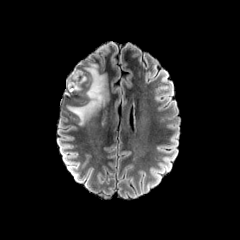
FLAIR MR image.
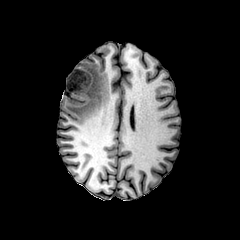
T1-weighted MR image.
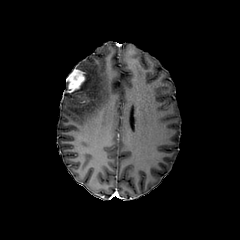
Post-contrast T1-weighted MRI of the same slice.
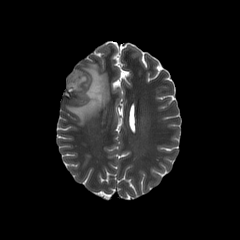
T2-weighted magnetic resonance.
240x240 px, Head
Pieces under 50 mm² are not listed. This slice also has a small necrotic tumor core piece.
<segmentation>
  <peritumoral_edema>bbox(67, 64, 107, 125)</peritumoral_edema>
  <enhancing_tumor>bbox(66, 68, 85, 92)</enhancing_tumor>
</segmentation>